FLAIR MRI.
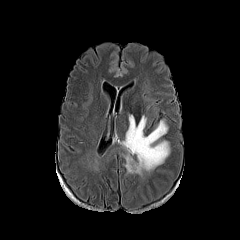
T1-weighted magnetic resonance.
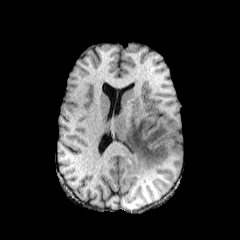
Post-contrast T1-weighted magnetic resonance.
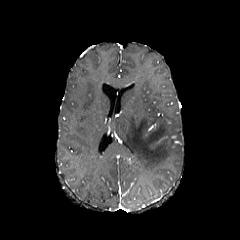
T2-weighted magnetic resonance.
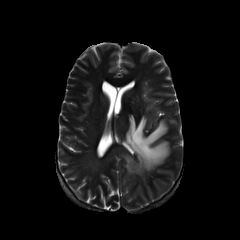
Image size 240x240, Axial plane
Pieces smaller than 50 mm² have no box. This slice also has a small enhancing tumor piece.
peritumoral_edema:
  - bbox=[123, 115, 169, 174]